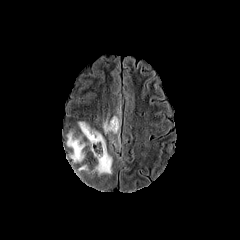
FLAIR MR image.
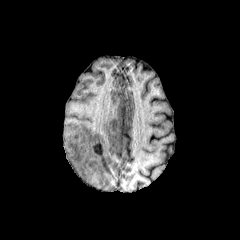
Same slice, T1-weighted MR image.
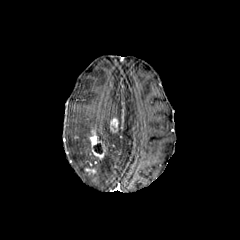
Same slice, post-contrast T1-weighted MR.
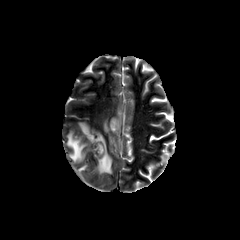
T2-weighted MR image.
Head
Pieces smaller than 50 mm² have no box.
{
  "peritumoral_edema": [
    "region(103, 118, 112, 133)",
    "region(113, 110, 120, 146)",
    "region(77, 165, 87, 173)",
    "region(95, 131, 112, 175)",
    "region(67, 122, 94, 162)"
  ],
  "enhancing_tumor": [
    "region(110, 118, 118, 132)",
    "region(89, 130, 105, 159)",
    "region(85, 168, 96, 173)"
  ],
  "necrotic_tumor_core": [
    "region(93, 143, 102, 153)"
  ]
}